Brain. Axial plane. Image size 240x240.
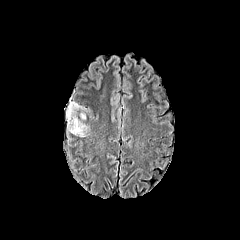
FLAIR MR image.
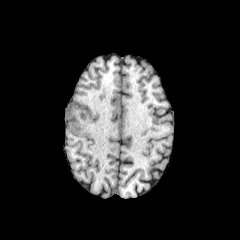
T1-weighted MRI of the same slice.
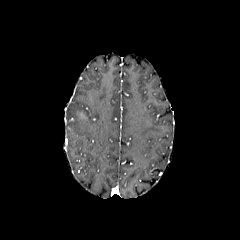
Post-contrast T1-weighted MR image.
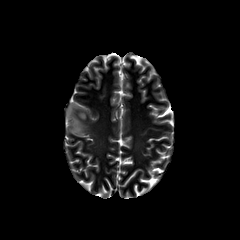
T2-weighted MR.
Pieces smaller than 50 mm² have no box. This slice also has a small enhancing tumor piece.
Findings:
- peritumoral edema: x1=66 y1=102 x2=86 y2=136